Axial view, Brain
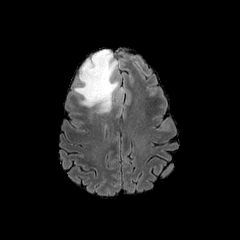
FLAIR MRI.
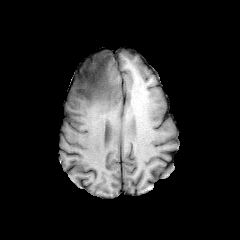
T1-weighted MR image.
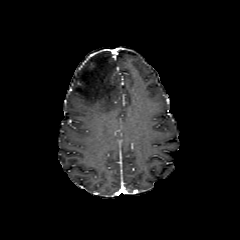
Post-contrast T1-weighted MR of the same slice.
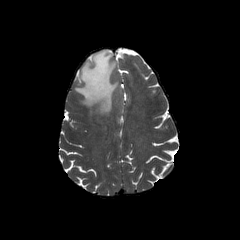
T2-weighted MRI of the same slice.
peritumoral edema: 73, 50, 119, 114